FLAIR MRI.
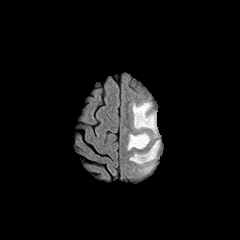
T1-weighted MRI.
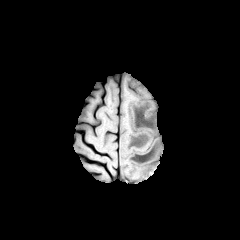
Post-contrast T1-weighted MRI.
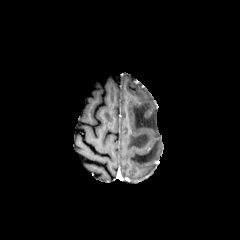
T2-weighted magnetic resonance.
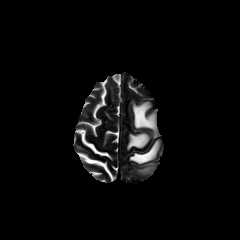
Brain, Image size 240x240
4 peritumoral edema regions appear at x1=127, y1=132, x2=150, y2=150; x1=132, y1=101, x2=158, y2=137; x1=139, y1=165, x2=153, y2=173; x1=129, y1=140, x2=160, y2=164.